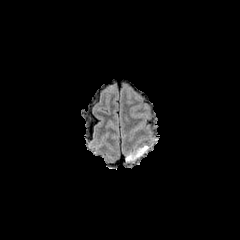
FLAIR MRI.
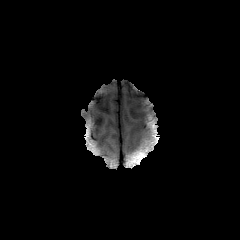
T1-weighted magnetic resonance.
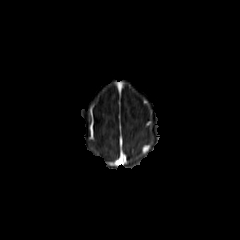
Post-contrast T1-weighted MR of the same slice.
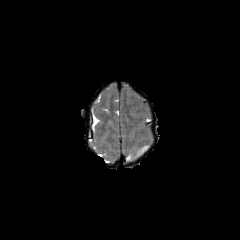
Same slice, T2-weighted MR image.
Image size 240x240 | Axial plane
{"peritumoral_edema": [{"x1": 126, "y1": 146, "x2": 143, "y2": 161}], "enhancing_tumor": [{"x1": 142, "y1": 145, "x2": 149, "y2": 153}]}